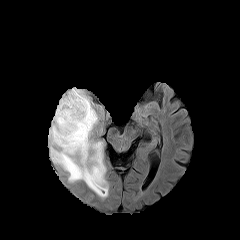
FLAIR MR.
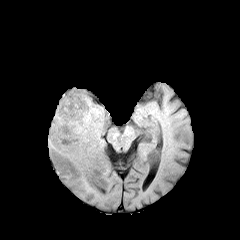
T1-weighted MR.
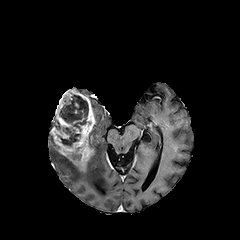
Post-contrast T1-weighted MRI.
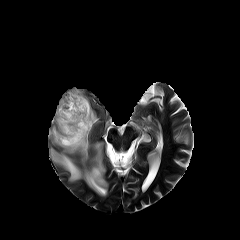
T2-weighted MR.
Axial view
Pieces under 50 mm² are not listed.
Annotated regions:
• peritumoral edema: 90, 100, 99, 129; 48, 116, 108, 197
• necrotic tumor core: 58, 127, 80, 146; 59, 95, 88, 131
• enhancing tumor: 50, 89, 95, 171